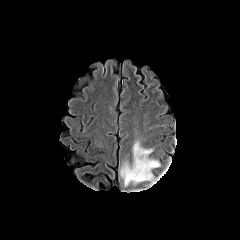
FLAIR MRI.
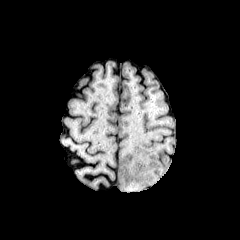
T1-weighted MR image.
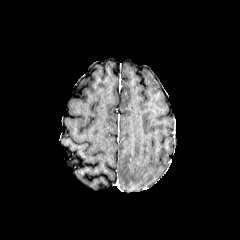
Post-contrast T1-weighted MRI.
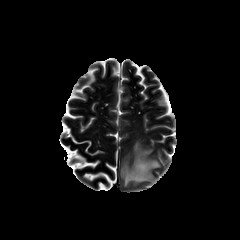
T2-weighted MR.
Brain. Axial view.
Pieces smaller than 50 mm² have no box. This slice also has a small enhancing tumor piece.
peritumoral edema: bounding box box=[120, 141, 160, 186]